FLAIR MR image.
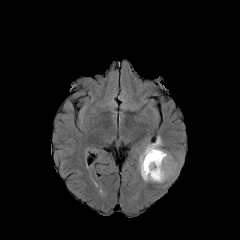
T1-weighted magnetic resonance.
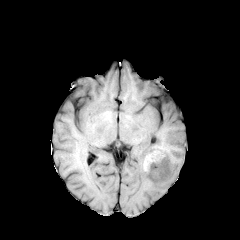
Post-contrast T1-weighted MR image.
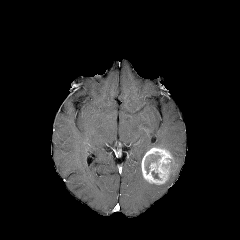
T2-weighted MR image.
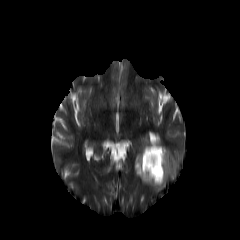
Brain. Axial slice.
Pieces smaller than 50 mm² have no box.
Segmented structures:
• peritumoral edema: x1=136 y1=134 x2=163 y2=183, x1=169 y1=154 x2=183 y2=179
• enhancing tumor: x1=141 y1=147 x2=177 y2=184
• necrotic tumor core: x1=145 y1=154 x2=160 y2=173